240x240 px, Axial plane, Head
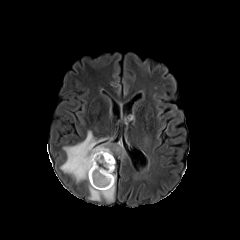
FLAIR magnetic resonance.
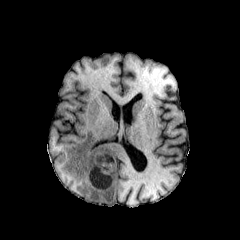
T1-weighted MR of the same slice.
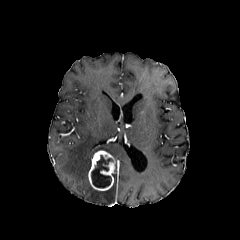
Same slice, post-contrast T1-weighted MR.
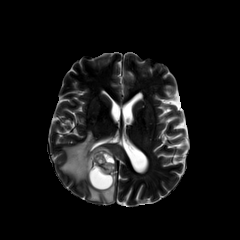
Same slice, T2-weighted MR.
necrotic tumor core: bounding box <bbox>91, 155, 112, 187</bbox>
enhancing tumor: bounding box <bbox>88, 150, 115, 190</bbox>
peritumoral edema: bounding box <bbox>88, 173, 115, 202</bbox>, <bbox>60, 131, 126, 182</bbox>